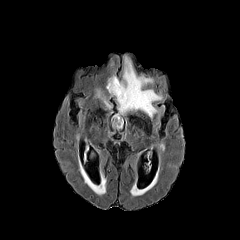
FLAIR MR image.
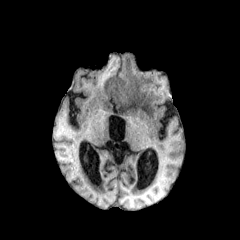
Same slice, T1-weighted magnetic resonance.
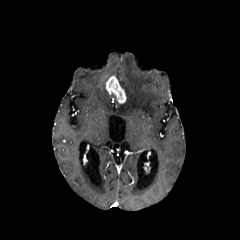
Same slice, post-contrast T1-weighted MR.
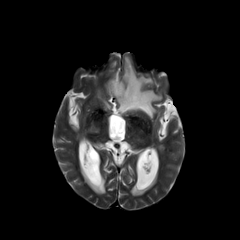
Same slice, T2-weighted MRI.
240x240 px | Head
enhancing_tumor:
  - bbox(106, 76, 126, 103)
peritumoral_edema:
  - bbox(84, 180, 104, 195)
  - bbox(117, 56, 162, 117)
  - bbox(96, 89, 111, 109)